FLAIR magnetic resonance.
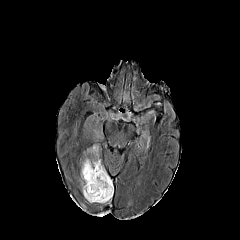
T1-weighted MR image.
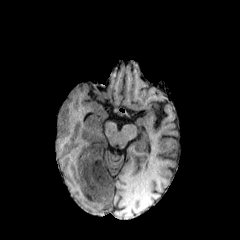
Post-contrast T1-weighted MRI.
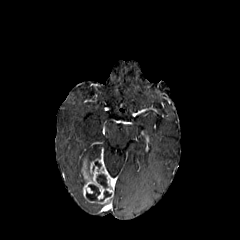
T2-weighted MR image.
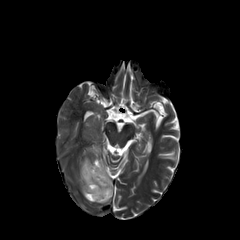
Axial view, Brain
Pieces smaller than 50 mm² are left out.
The largest peritumoral edema region is at (left=89, top=145, right=98, bottom=155). The 3 largest necrotic tumor core regions appear at (left=100, top=191, right=111, bottom=201), (left=96, top=174, right=107, bottom=187), (left=86, top=184, right=100, bottom=200). The enhancing tumor is bounded by (left=81, top=158, right=113, bottom=204).